Axial plane.
FLAIR MR.
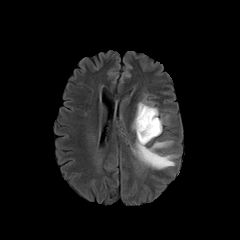
T1-weighted MRI.
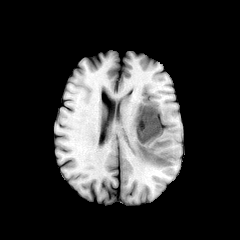
Post-contrast T1-weighted magnetic resonance.
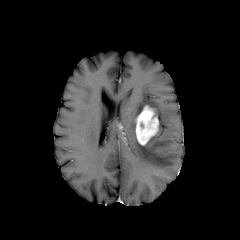
T2-weighted magnetic resonance.
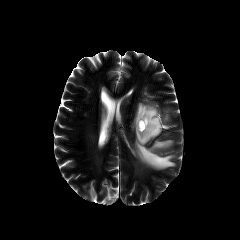
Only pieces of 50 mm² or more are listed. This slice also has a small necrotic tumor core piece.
peritumoral edema at left=150, top=115, right=168, bottom=140; left=132, top=101, right=158, bottom=132; left=131, top=137, right=177, bottom=169
enhancing tumor at left=135, top=105, right=159, bottom=145